FLAIR magnetic resonance.
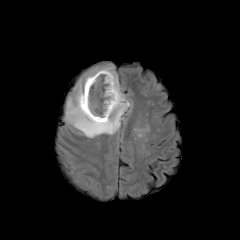
T1-weighted MR image.
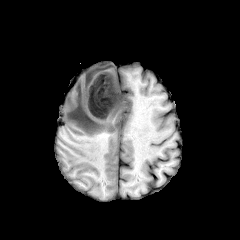
Post-contrast T1-weighted MR.
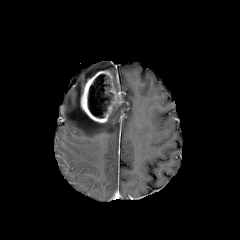
T2-weighted MR.
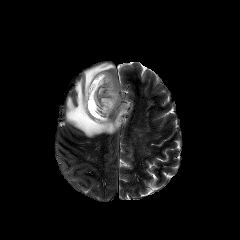
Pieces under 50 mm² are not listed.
enhancing tumor = bbox(80, 70, 124, 122)
peritumoral edema = bbox(64, 62, 131, 137)
necrotic tumor core = bbox(88, 74, 112, 118)